Head, Slice 70/155, 240x240 px
FLAIR MR.
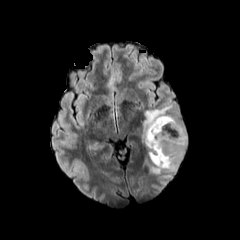
T1-weighted MR image.
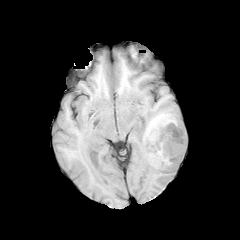
Post-contrast T1-weighted magnetic resonance.
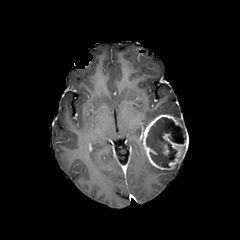
T2-weighted MR image.
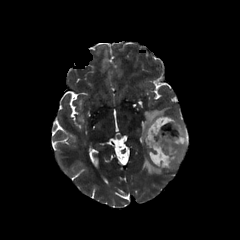
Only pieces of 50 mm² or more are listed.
The largest enhancing tumor region is located at (left=141, top=114, right=188, bottom=170). The necrotic tumor core appears at (left=146, top=117, right=186, bottom=167). The 2 largest peritumoral edema regions appear at (left=143, top=104, right=172, bottom=129), (left=146, top=161, right=179, bottom=174).